FLAIR MR image.
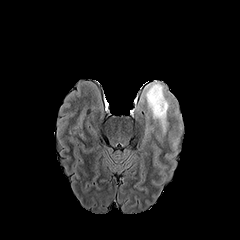
T1-weighted MR.
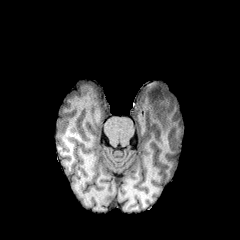
Post-contrast T1-weighted MRI.
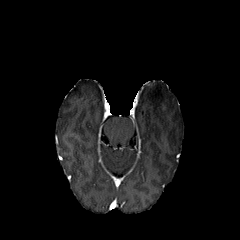
T2-weighted MR.
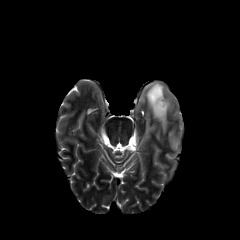
Axial plane, 240x240 px
peritumoral edema = [144, 82, 168, 133]